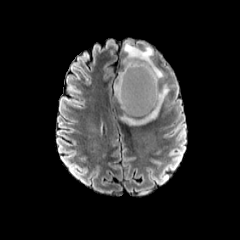
FLAIR magnetic resonance.
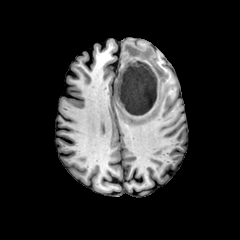
Same slice, T1-weighted magnetic resonance.
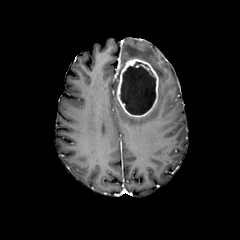
Post-contrast T1-weighted MRI.
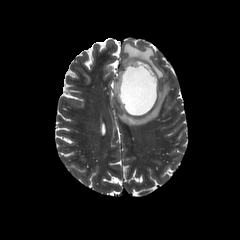
T2-weighted MRI of the same slice.
Axial plane; Head; 240x240 px
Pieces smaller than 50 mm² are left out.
The enhancing tumor is located at x1=116 y1=58 x2=158 y2=117. The largest necrotic tumor core region is at x1=120 y1=62 x2=155 y2=114. The 2 largest peritumoral edema regions are bounded by x1=123 y1=42 x2=163 y2=80, x1=120 y1=84 x2=169 y2=125.